Image covers 240 mm x 240 mm. Slice index 124. Axial view. Head. 240x240 px.
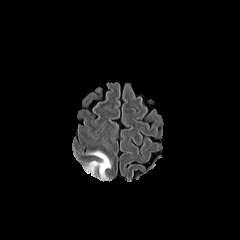
FLAIR MR image.
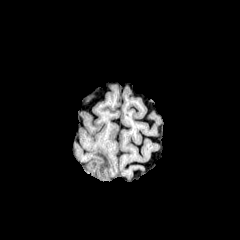
T1-weighted MR.
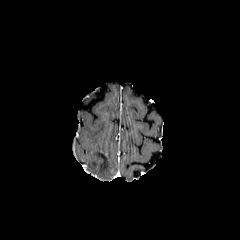
Post-contrast T1-weighted MRI of the same slice.
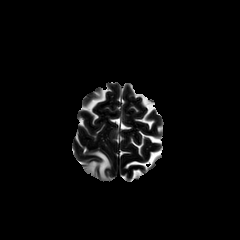
Same slice, T2-weighted magnetic resonance.
Findings:
• peritumoral edema: bbox=[87, 151, 110, 180]